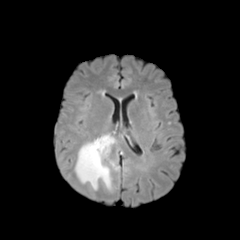
FLAIR MR image.
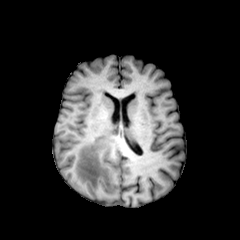
T1-weighted magnetic resonance of the same slice.
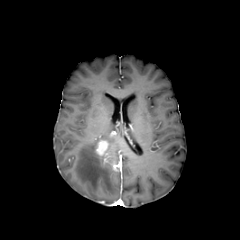
Post-contrast T1-weighted magnetic resonance.
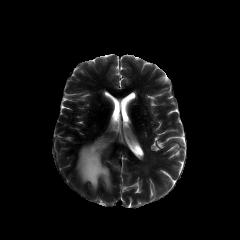
Same slice, T2-weighted MRI.
Axial plane
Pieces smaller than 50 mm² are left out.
The largest enhancing tumor region is at 95,140,108,155. The largest peritumoral edema region lies within 75,134,114,190.